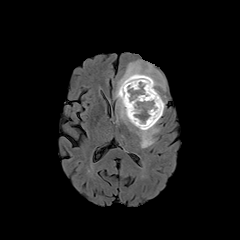
FLAIR MR image.
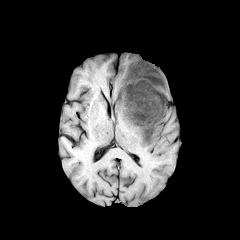
T1-weighted MRI.
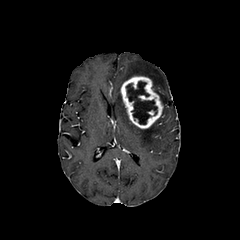
Post-contrast T1-weighted MR.
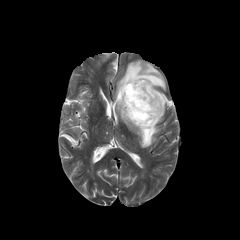
T2-weighted MRI.
Head.
Segmented structures:
• necrotic tumor core: l=126, t=81, r=157, b=124
• enhancing tumor: l=120, t=76, r=163, b=128
• peritumoral edema: l=116, t=60, r=166, b=147